Brain, Slice index 63, 240x240 px
FLAIR MR image.
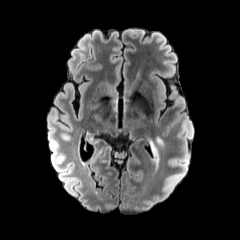
T1-weighted MRI.
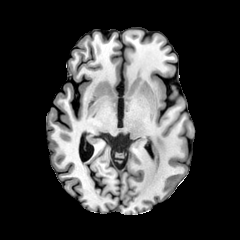
Post-contrast T1-weighted MR.
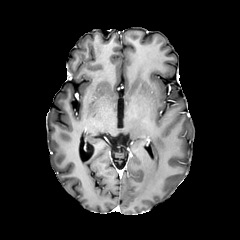
T2-weighted MR image.
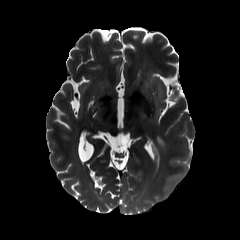
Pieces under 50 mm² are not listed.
peritumoral_edema:
  - 150,142,158,163